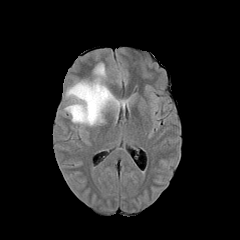
FLAIR MR image.
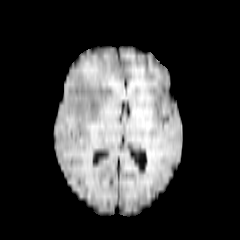
T1-weighted MR.
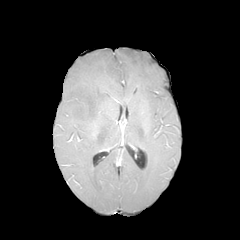
Post-contrast T1-weighted MRI of the same slice.
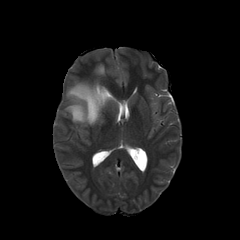
Same slice, T2-weighted magnetic resonance.
240x240 px, Axial view, Brain
<segmentation>
  <peritumoral_edema>(left=65, top=63, right=127, bottom=126)</peritumoral_edema>
</segmentation>